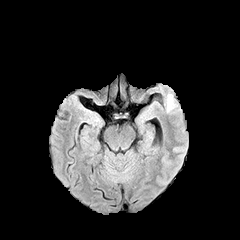
FLAIR MRI.
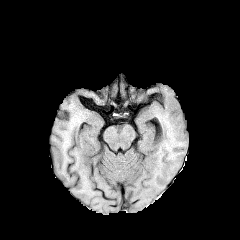
T1-weighted MR image.
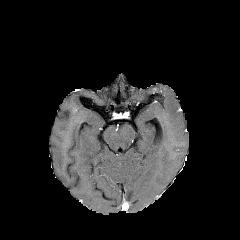
Same slice, post-contrast T1-weighted MRI.
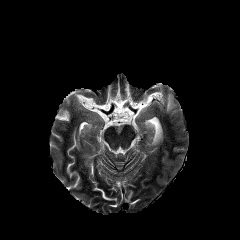
T2-weighted magnetic resonance.
240x240 px
peritumoral_edema:
  - left=166, top=93, right=176, bottom=112